Axial slice, Image size 240x240, Brain, Slice 84/155
FLAIR MRI.
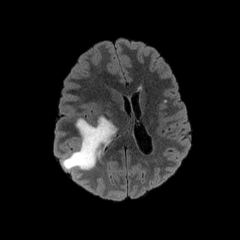
T1-weighted MR image.
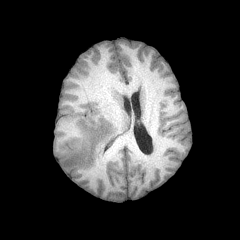
Post-contrast T1-weighted magnetic resonance.
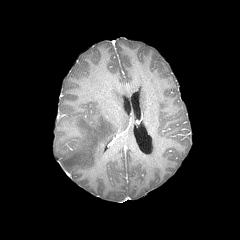
T2-weighted MR.
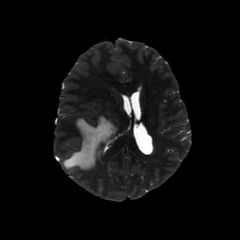
The peritumoral edema lies within 62:116:116:170.